FLAIR MR.
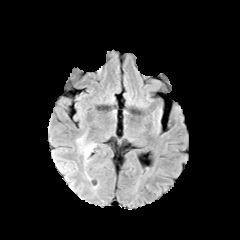
T1-weighted MR image.
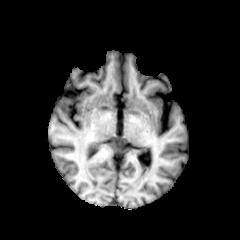
Post-contrast T1-weighted MRI.
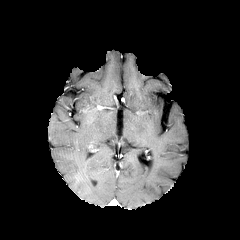
T2-weighted magnetic resonance.
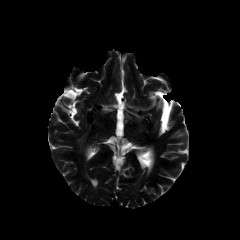
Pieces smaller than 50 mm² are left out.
peritumoral edema at <box>83,144,94,156</box>